FLAIR MR.
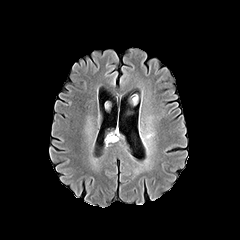
T1-weighted MR image.
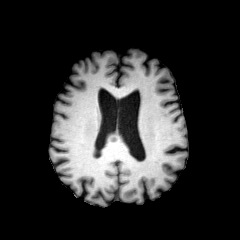
Post-contrast T1-weighted MR image.
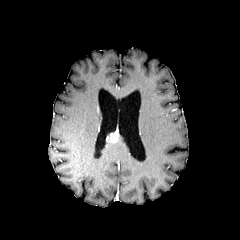
T2-weighted MRI.
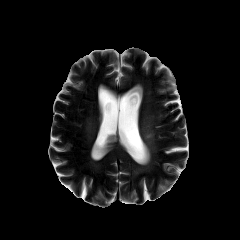
Axial view
The enhancing tumor appears at [107, 134, 116, 142].